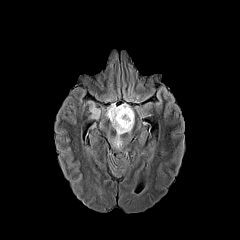
FLAIR MRI.
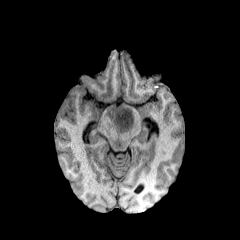
T1-weighted MRI.
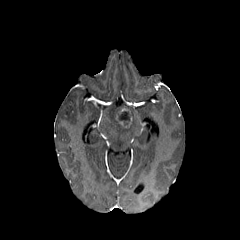
Post-contrast T1-weighted MR.
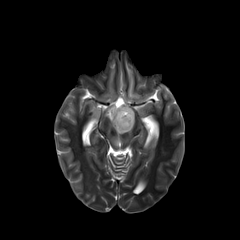
T2-weighted MR image.
Brain, 240x240 px
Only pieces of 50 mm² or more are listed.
enhancing tumor = (114, 107, 132, 128)
peritumoral edema = (105, 103, 134, 148), (89, 102, 99, 118)
necrotic tumor core = (118, 111, 130, 125)